Head | Slice index 94
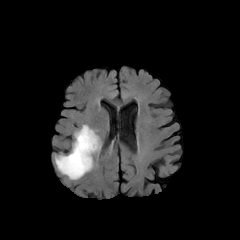
FLAIR magnetic resonance.
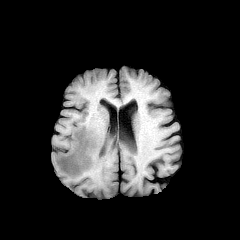
T1-weighted MR of the same slice.
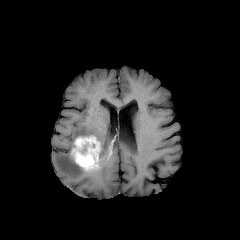
Post-contrast T1-weighted MR.
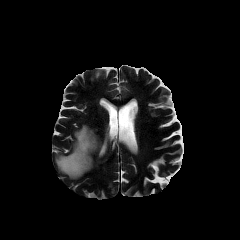
Same slice, T2-weighted magnetic resonance.
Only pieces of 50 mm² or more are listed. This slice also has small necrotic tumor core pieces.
{
  "peritumoral_edema": [
    "55, 153, 90, 179",
    "74, 124, 101, 147"
  ],
  "enhancing_tumor": [
    "71, 136, 100, 170"
  ]
}